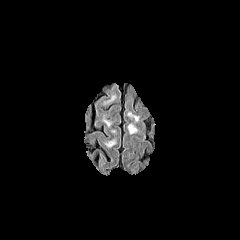
FLAIR magnetic resonance.
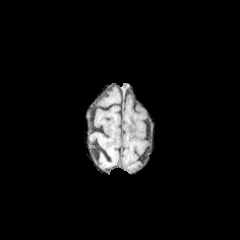
T1-weighted MR.
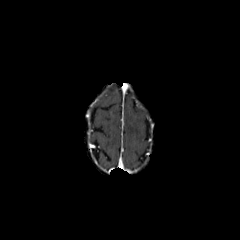
Post-contrast T1-weighted MR of the same slice.
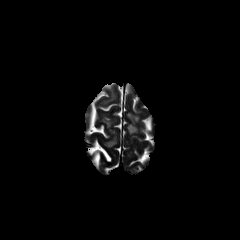
Same slice, T2-weighted MRI.
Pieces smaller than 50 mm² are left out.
The largest peritumoral edema region is located at left=128, top=125, right=136, bottom=133.